Brain; Slice 70 of 155; Axial plane; 240x240 px
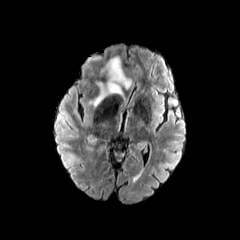
FLAIR MR.
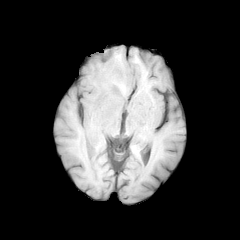
Same slice, T1-weighted MR image.
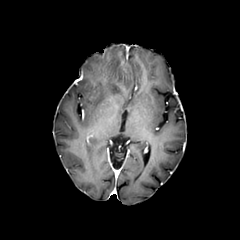
Post-contrast T1-weighted MRI.
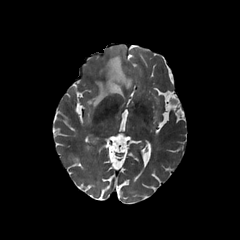
T2-weighted magnetic resonance of the same slice.
peritumoral_edema:
  - 89,56,131,106